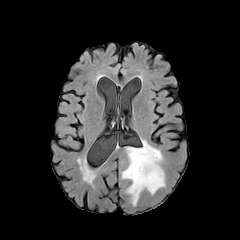
FLAIR magnetic resonance.
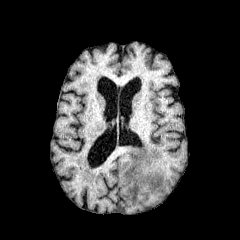
T1-weighted MRI.
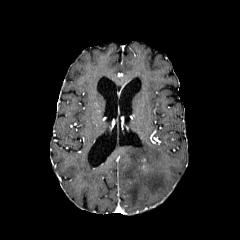
Same slice, post-contrast T1-weighted magnetic resonance.
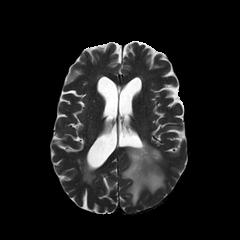
T2-weighted MRI of the same slice.
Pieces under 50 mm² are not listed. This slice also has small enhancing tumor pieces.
peritumoral_edema:
  - 122, 140, 165, 205